FLAIR magnetic resonance.
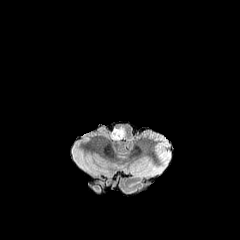
T1-weighted MR image.
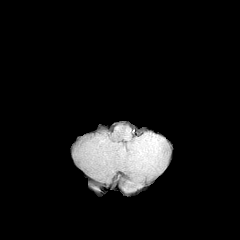
Post-contrast T1-weighted magnetic resonance.
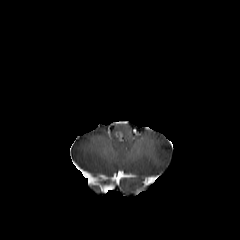
T2-weighted magnetic resonance.
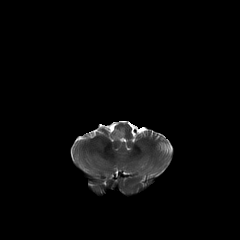
240x240
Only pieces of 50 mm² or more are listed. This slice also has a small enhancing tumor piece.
The peritumoral edema lies within left=110, top=127, right=126, bottom=140.